FLAIR MR.
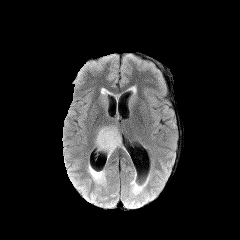
T1-weighted MR.
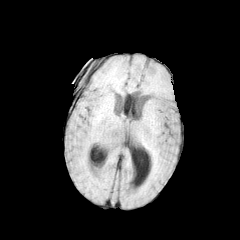
Post-contrast T1-weighted MR.
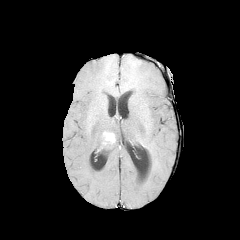
T2-weighted MRI.
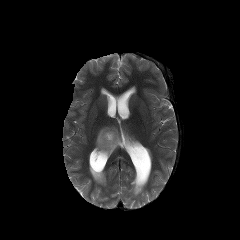
Brain; Axial view; Image size 240x240
peritumoral edema: bbox=[96, 127, 124, 158]
enhancing tumor: bbox=[103, 132, 115, 144]